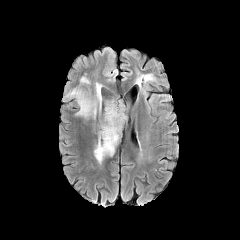
FLAIR magnetic resonance.
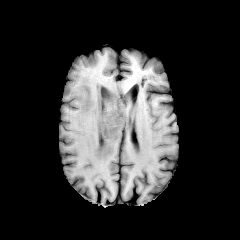
T1-weighted MR image.
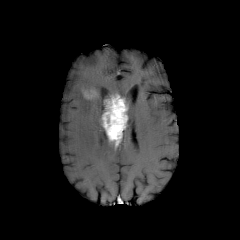
Post-contrast T1-weighted MR image of the same slice.
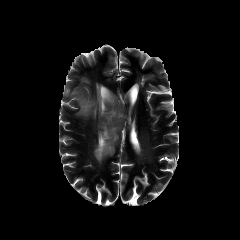
T2-weighted MRI.
Axial plane.
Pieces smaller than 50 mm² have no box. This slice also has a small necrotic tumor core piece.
{"enhancing_tumor": ["81,86,99,100", "101,94,127,146"], "peritumoral_edema": ["94,126,115,162", "66,83,103,120", "80,77,89,83"]}